Axial view
FLAIR magnetic resonance.
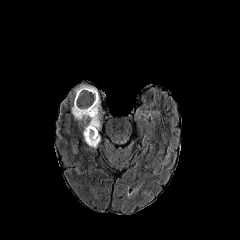
T1-weighted MR image.
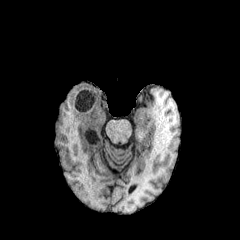
Post-contrast T1-weighted MR image.
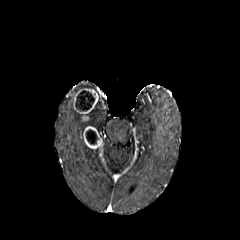
T2-weighted MRI.
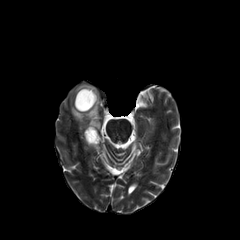
enhancing_tumor:
  - (83, 126, 101, 149)
  - (73, 88, 98, 120)
necrotic_tumor_core:
  - (75, 90, 94, 111)
  - (86, 129, 98, 144)
peritumoral_edema:
  - (68, 84, 102, 130)